Brain, Axial plane
FLAIR MR image.
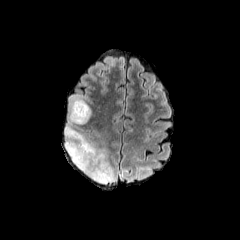
T1-weighted MR.
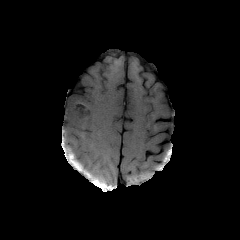
Post-contrast T1-weighted MRI.
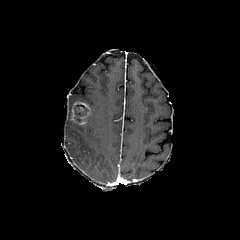
T2-weighted magnetic resonance.
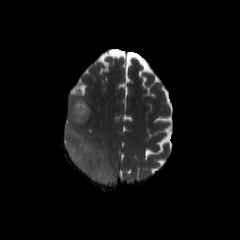
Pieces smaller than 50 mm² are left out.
necrotic tumor core: rect(74, 104, 88, 121)
enhancing tumor: rect(71, 101, 90, 124)
peritumoral edema: rect(85, 104, 93, 122); rect(65, 96, 115, 183)